Slice index 95 | Brain | Axial plane | Image size 240x240
FLAIR MR image.
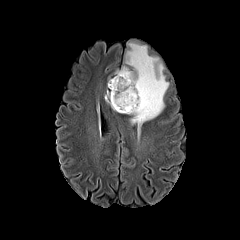
T1-weighted MR image.
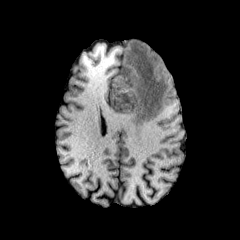
Post-contrast T1-weighted MRI.
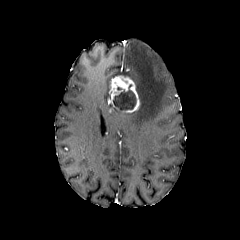
T2-weighted magnetic resonance.
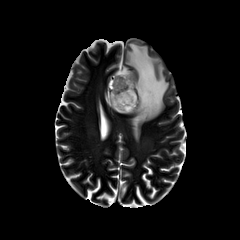
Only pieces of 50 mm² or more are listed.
The largest peritumoral edema region is located at l=115, t=42, r=168, b=130. The enhancing tumor is located at l=108, t=75, r=140, b=113. The largest necrotic tumor core region lies within l=113, t=90, r=135, b=110.